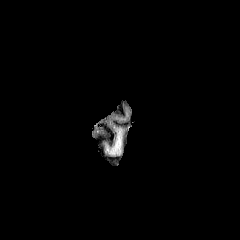
FLAIR MR image.
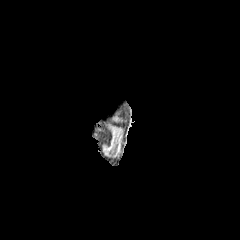
T1-weighted magnetic resonance.
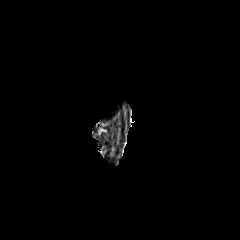
Post-contrast T1-weighted magnetic resonance of the same slice.
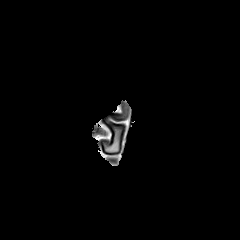
Same slice, T2-weighted MR.
Axial view.
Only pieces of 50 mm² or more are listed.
peritumoral edema at <box>105,133,123,153</box>